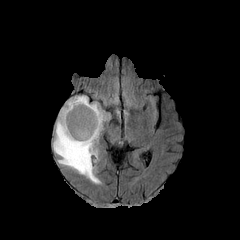
FLAIR MR image.
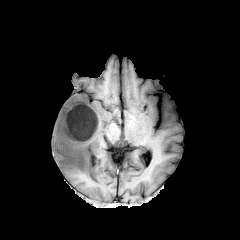
T1-weighted MR.
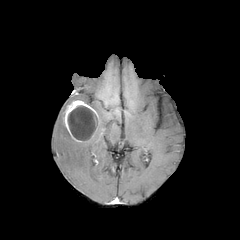
Post-contrast T1-weighted MR image.
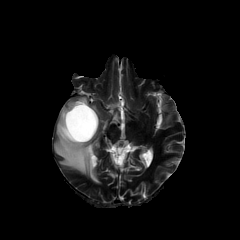
T2-weighted MR.
Brain, Axial view
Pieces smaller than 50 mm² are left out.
* enhancing tumor: box(63, 100, 99, 142)
* necrotic tumor core: box(68, 106, 97, 140)
* peritumoral edema: box(53, 95, 107, 183)